FLAIR MR image.
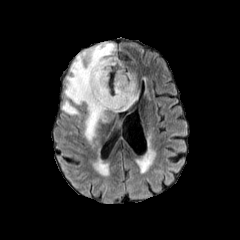
T1-weighted MR.
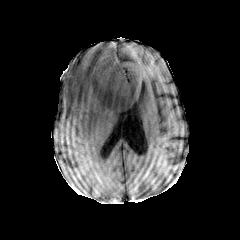
Post-contrast T1-weighted MR image.
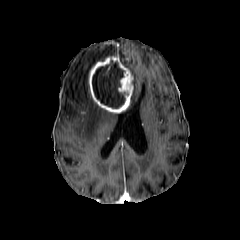
T2-weighted MR.
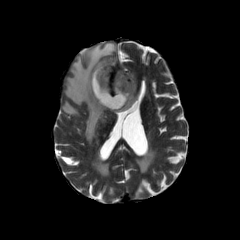
Axial plane | 240x240
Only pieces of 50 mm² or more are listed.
necrotic tumor core: (92,62,124,108)
enhancing tumor: (88,56,133,113)
peritumoral edema: (61,42,116,142), (131,73,138,104)